Image covers 240 mm x 240 mm, Axial slice, Slice 75 of 155
FLAIR MRI.
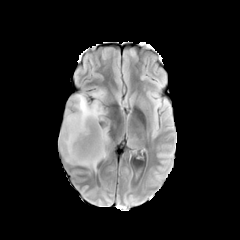
T1-weighted MR.
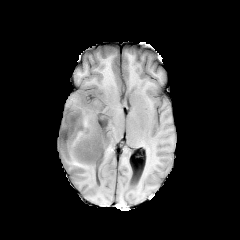
Post-contrast T1-weighted MR image.
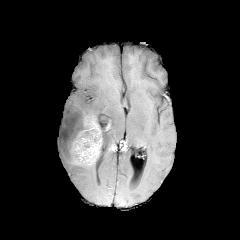
T2-weighted MR.
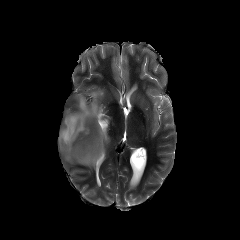
enhancing tumor: bounding box (72, 118, 108, 165)
peritumoral edema: bounding box (59, 90, 109, 169)